FLAIR MRI.
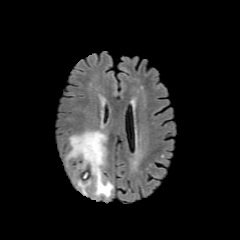
T1-weighted magnetic resonance.
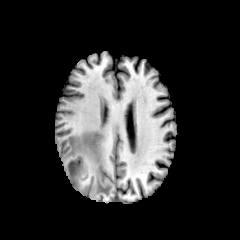
Post-contrast T1-weighted MR image.
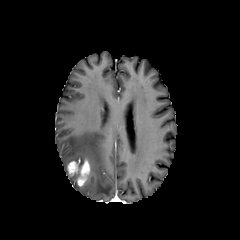
T2-weighted MR image.
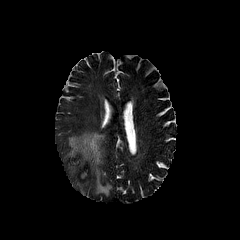
Image size 240x240, Axial plane
peritumoral edema: bbox=[66, 131, 113, 197]; bbox=[79, 181, 89, 193]
enhancing tumor: bbox=[67, 157, 90, 186]